Axial plane
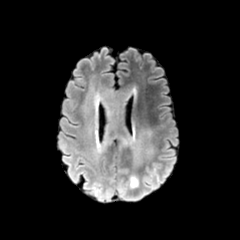
FLAIR MRI.
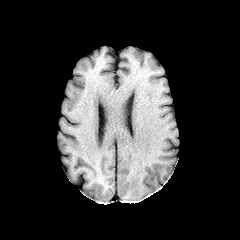
T1-weighted magnetic resonance.
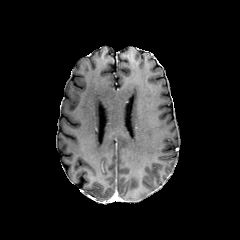
Post-contrast T1-weighted magnetic resonance.
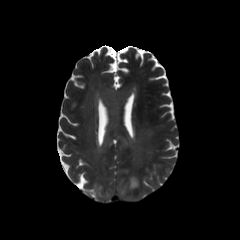
Same slice, T2-weighted MRI.
3 peritumoral edema regions are bounded by [130,177,138,187], [98,90,129,136], [123,131,155,168].